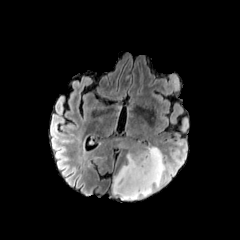
FLAIR magnetic resonance.
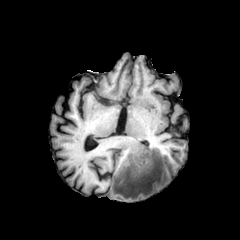
T1-weighted magnetic resonance.
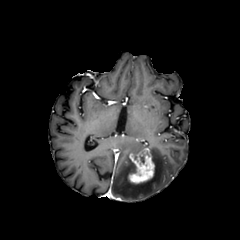
Post-contrast T1-weighted magnetic resonance.
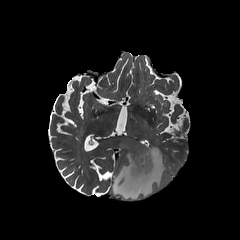
Same slice, T2-weighted MR.
Brain
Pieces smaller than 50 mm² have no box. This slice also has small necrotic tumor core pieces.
enhancing tumor — [128, 148, 155, 184]
peritumoral edema — [112, 146, 168, 200]